Axial view; Head
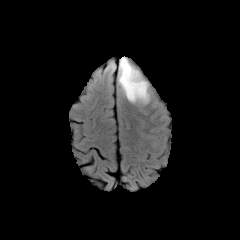
FLAIR MR image.
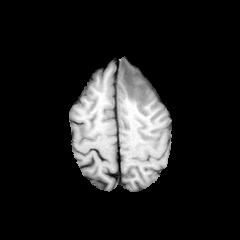
T1-weighted MR image.
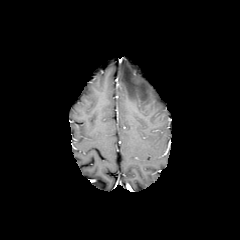
Post-contrast T1-weighted MR of the same slice.
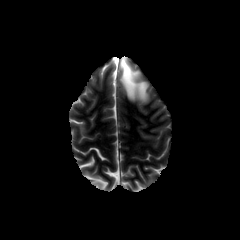
T2-weighted MR image.
peritumoral edema: left=118, top=57, right=150, bottom=104